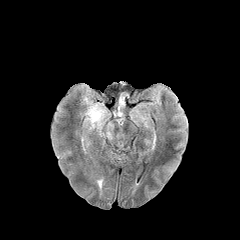
FLAIR MRI.
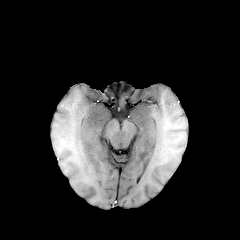
Same slice, T1-weighted MRI.
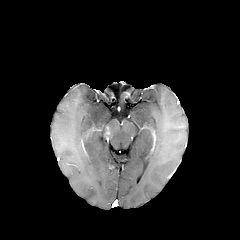
Post-contrast T1-weighted MR image.
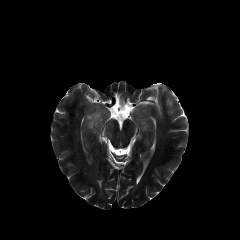
T2-weighted MR image.
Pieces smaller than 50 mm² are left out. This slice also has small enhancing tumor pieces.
Segmented structures:
- peritumoral edema: {"x1": 86, "y1": 105, "x2": 105, "y2": 131}